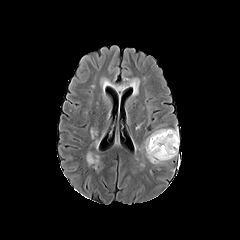
FLAIR MR image.
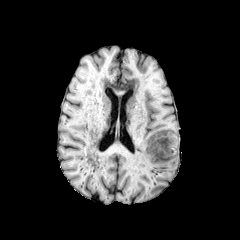
T1-weighted magnetic resonance.
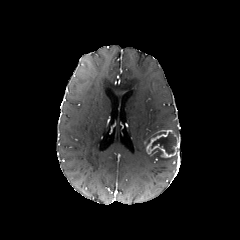
Same slice, post-contrast T1-weighted MRI.
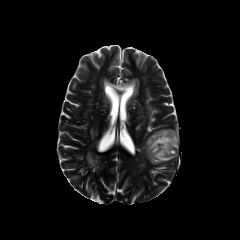
T2-weighted MR.
Brain; Axial slice
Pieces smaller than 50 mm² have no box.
peritumoral_edema:
  - (145,152,173,164)
  - (146,128,169,143)
necrotic_tumor_core:
  - (151,132,176,153)
  - (151,148,162,156)
enhancing_tumor:
  - (145,130,179,158)